FLAIR MR.
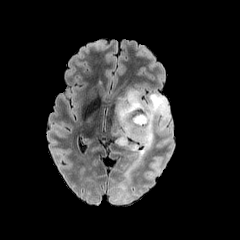
T1-weighted MRI.
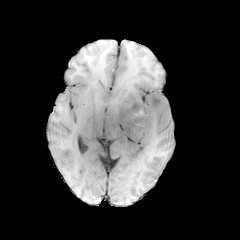
Post-contrast T1-weighted MR image.
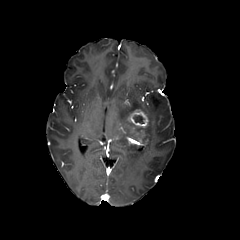
T2-weighted MRI.
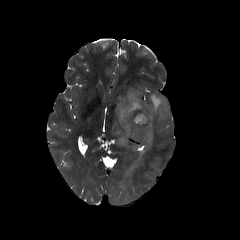
Axial view
The necrotic tumor core is bounded by box(133, 115, 143, 123). 2 peritumoral edema regions are located at box(156, 138, 170, 147); box(113, 90, 172, 168). The enhancing tumor appears at box(126, 110, 149, 130).